FLAIR MR image.
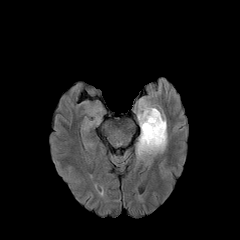
T1-weighted MR image.
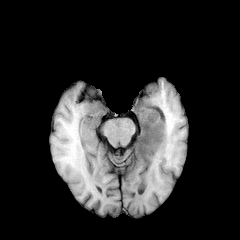
Post-contrast T1-weighted MR.
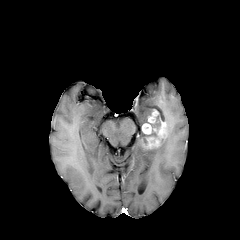
T2-weighted magnetic resonance.
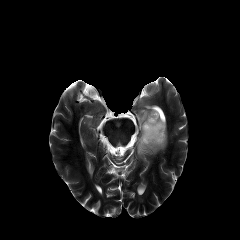
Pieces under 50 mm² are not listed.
Segmented structures:
- enhancing tumor: 141,109,166,148
- peritumoral edema: 136,103,167,158